Head, Image width 240 mm, Axial plane, Slice 87/155
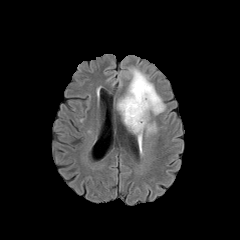
FLAIR MRI.
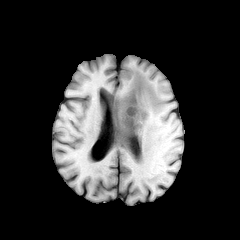
T1-weighted MR.
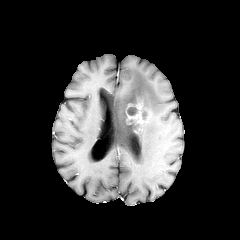
Post-contrast T1-weighted MR image of the same slice.
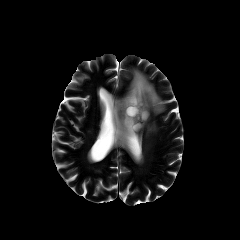
T2-weighted MR image.
<segmentation>
  <peritumoral_edema>(117,68,164,152)</peritumoral_edema>
  <necrotic_tumor_core>(127,107,137,115)</necrotic_tumor_core>
  <enhancing_tumor>(126,102,144,124)</enhancing_tumor>
</segmentation>